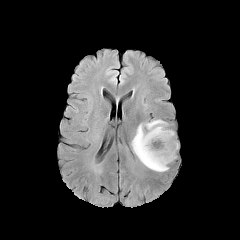
FLAIR MR image.
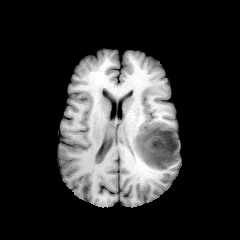
Same slice, T1-weighted MR image.
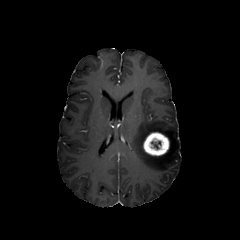
Post-contrast T1-weighted MR image.
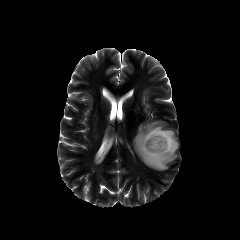
T2-weighted magnetic resonance of the same slice.
240x240; Head; Axial slice
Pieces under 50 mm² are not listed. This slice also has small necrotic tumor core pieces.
Findings:
* enhancing tumor: 143,132,169,156
* peritumoral edema: 132,120,178,171